Axial plane. Slice 93/155.
FLAIR MRI.
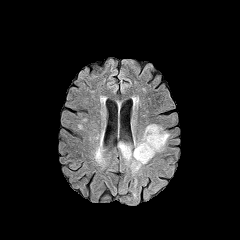
T1-weighted magnetic resonance.
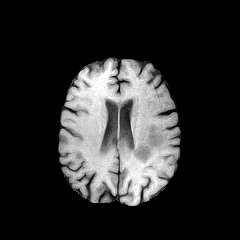
Post-contrast T1-weighted magnetic resonance.
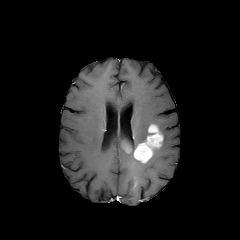
T2-weighted MRI.
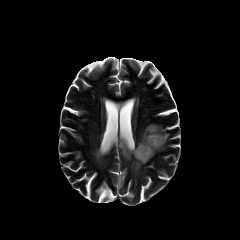
enhancing_tumor:
  - left=133, top=124, right=163, bottom=163
  - left=122, top=142, right=131, bottom=153
peritumoral_edema:
  - left=153, top=125, right=169, bottom=156
  - left=118, top=141, right=133, bottom=161
  - left=131, top=158, right=144, bottom=172
  - left=134, top=125, right=150, bottom=149